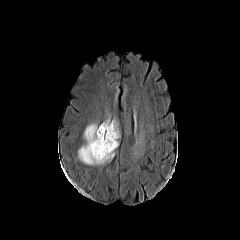
FLAIR MR image.
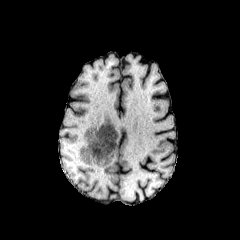
T1-weighted magnetic resonance.
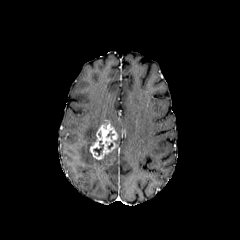
Post-contrast T1-weighted MRI.
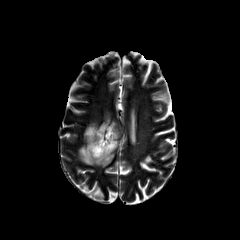
T2-weighted magnetic resonance.
240x240 px
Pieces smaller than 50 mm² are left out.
enhancing tumor: (89,122,118,159) | peritumoral edema: (111,120,119,137), (78,123,115,168) | necrotic tumor core: (93,141,103,156)